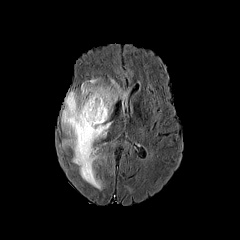
FLAIR MR.
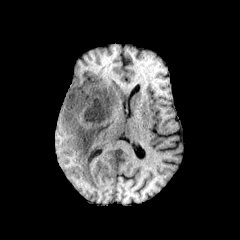
T1-weighted magnetic resonance.
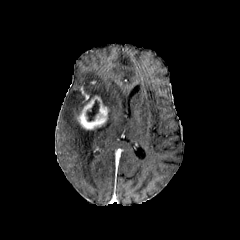
Same slice, post-contrast T1-weighted MR image.
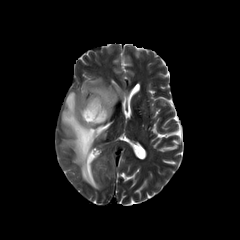
Same slice, T2-weighted MR image.
Head; Axial view
2 peritumoral edema regions appear at x1=81 y1=78 x2=128 y2=119, x1=61 y1=91 x2=111 y2=189. The necrotic tumor core is bounded by x1=87 y1=100 x2=99 y2=121. The enhancing tumor is bounded by x1=77 y1=95 x2=108 y2=129.